Brain, Image covers 240 mm x 240 mm, Slice index 68, 240x240 px
FLAIR MRI.
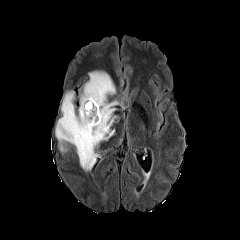
T1-weighted MR image.
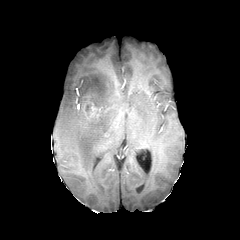
Post-contrast T1-weighted MR image.
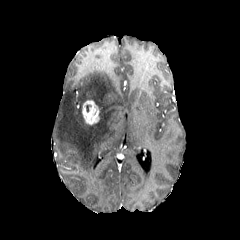
T2-weighted magnetic resonance.
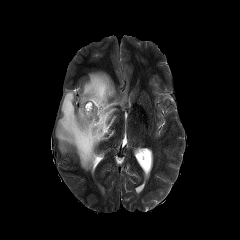
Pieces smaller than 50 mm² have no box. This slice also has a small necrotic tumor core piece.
The enhancing tumor is bounded by (left=82, top=100, right=99, bottom=124). The peritumoral edema is bounded by (left=55, top=71, right=124, bottom=171).